FLAIR MR image.
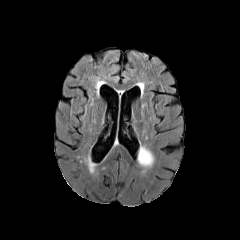
T1-weighted MR.
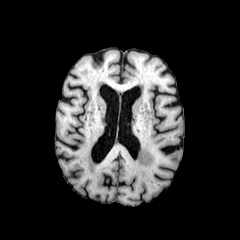
Post-contrast T1-weighted MRI.
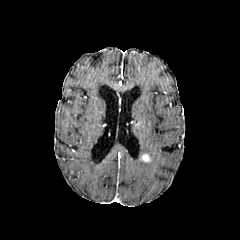
T2-weighted magnetic resonance.
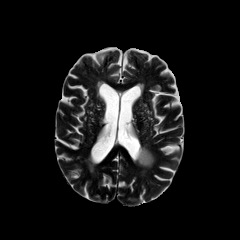
240x240. Brain.
Segmented structures:
- peritumoral edema: left=137, top=145, right=155, bottom=168
- enhancing tumor: left=141, top=154, right=150, bottom=161